FLAIR MRI.
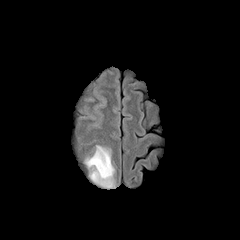
T1-weighted MRI.
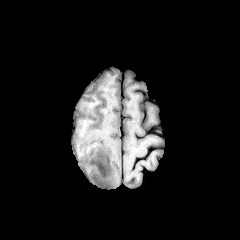
Post-contrast T1-weighted MRI.
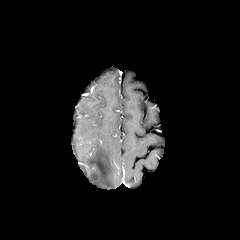
T2-weighted MRI.
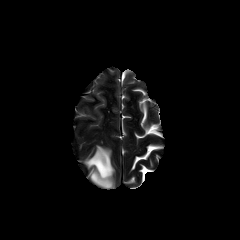
Axial plane | Head
peritumoral_edema:
  - (left=84, top=145, right=114, bottom=188)